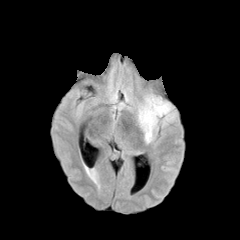
FLAIR MR.
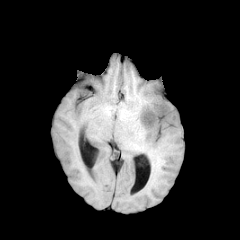
Same slice, T1-weighted MR image.
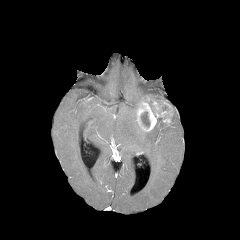
Post-contrast T1-weighted MRI.
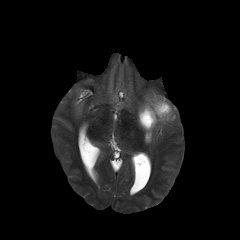
Same slice, T2-weighted MR image.
240x240; Head
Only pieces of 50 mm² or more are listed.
enhancing tumor: bbox(137, 100, 172, 131) | peritumoral edema: bbox(137, 95, 162, 111); bbox(143, 119, 168, 143) | necrotic tumor core: bbox(141, 112, 149, 126)